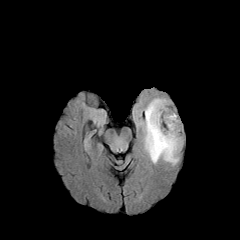
FLAIR magnetic resonance.
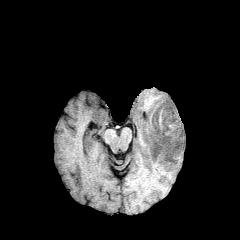
T1-weighted MR.
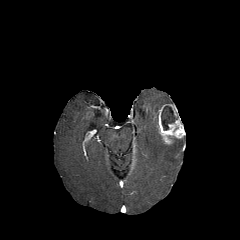
Same slice, post-contrast T1-weighted MR.
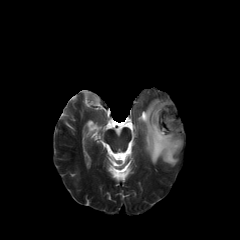
T2-weighted MR image.
Axial plane. Head.
enhancing tumor — (left=153, top=104, right=184, bottom=144)
peritumoral edema — (left=141, top=98, right=182, bottom=165)
necrotic tumor core — (left=161, top=106, right=177, bottom=130)